FLAIR MR image.
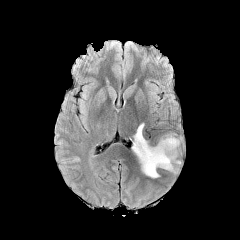
T1-weighted MR.
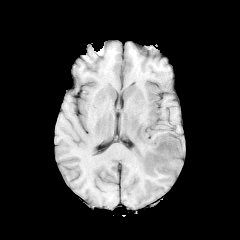
Post-contrast T1-weighted MR.
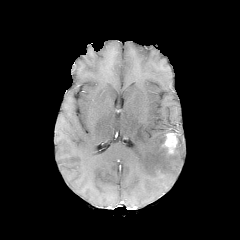
T2-weighted MR image.
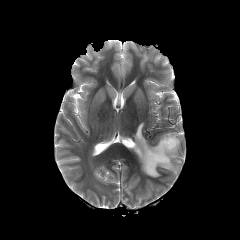
Axial slice | Head
peritumoral_edema:
  - bbox(132, 123, 180, 177)
enhancing_tumor:
  - bbox(161, 132, 177, 154)